Axial view, Slice 105 of 155, Image width 240 mm, 240x240
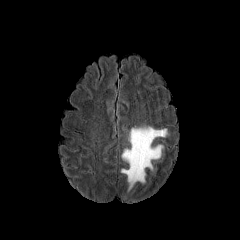
FLAIR MR.
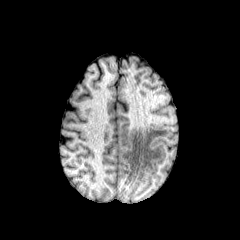
T1-weighted magnetic resonance.
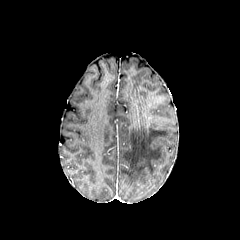
Post-contrast T1-weighted MR.
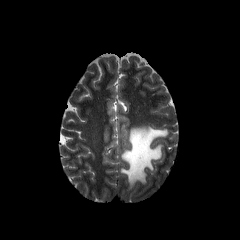
Same slice, T2-weighted magnetic resonance.
peritumoral edema: (121, 126, 167, 188)